240x240; Head; Slice index 61; Image width 240 mm
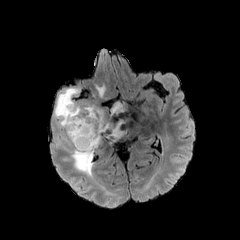
FLAIR MRI.
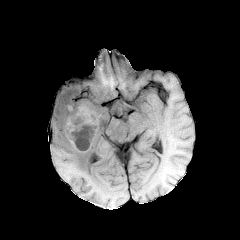
T1-weighted MR.
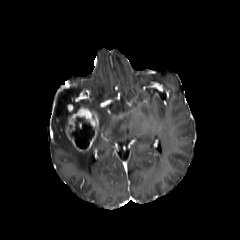
Post-contrast T1-weighted magnetic resonance.
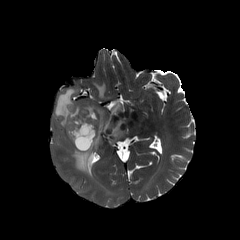
T2-weighted MRI.
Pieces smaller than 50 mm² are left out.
Findings:
* enhancing tumor: [x1=66, y1=104, x2=98, y2=151]
* peritumoral edema: [x1=96, y1=84, x2=105, y2=97], [x1=54, y1=85, x2=125, y2=176]
* necrotic tumor core: [x1=69, y1=117, x2=94, y2=148]